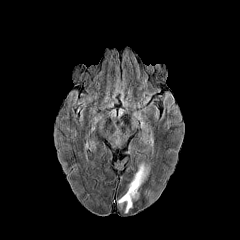
FLAIR MR image.
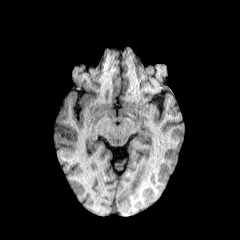
T1-weighted MR.
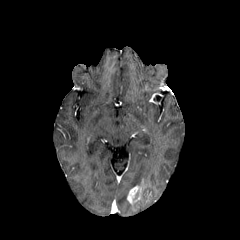
Post-contrast T1-weighted MR.
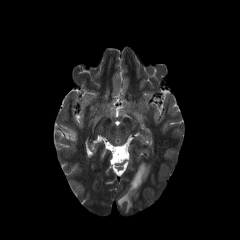
Same slice, T2-weighted MR image.
Head, Image size 240x240
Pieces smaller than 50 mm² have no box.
peritumoral edema = x1=118 y1=161 x2=149 y2=212
enhancing tumor = x1=127 y1=185 x2=138 y2=203